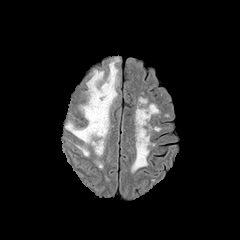
FLAIR MRI.
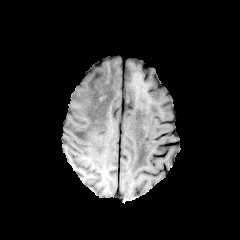
T1-weighted MRI of the same slice.
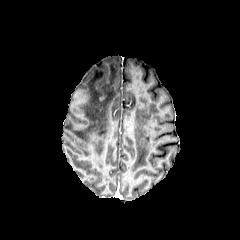
Post-contrast T1-weighted MRI.
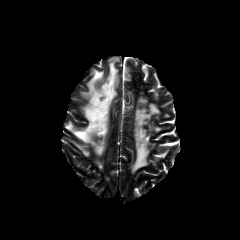
T2-weighted MR.
Brain
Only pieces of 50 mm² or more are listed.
The 2 largest peritumoral edema regions are located at 65, 57, 118, 155; 76, 145, 89, 156.